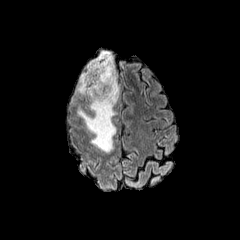
FLAIR MRI.
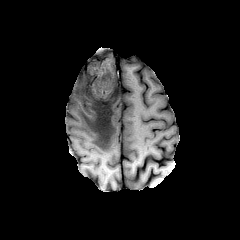
T1-weighted magnetic resonance.
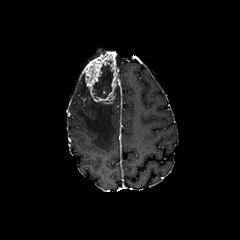
Post-contrast T1-weighted MR of the same slice.
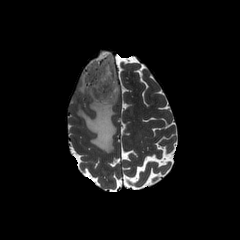
T2-weighted MR image.
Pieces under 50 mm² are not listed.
necrotic tumor core = <bbox>92, 64, 113, 98</bbox>
enhancing tumor = <bbox>83, 53, 119, 104</bbox>
peritumoral edema = <bbox>76, 51, 120, 152</bbox>